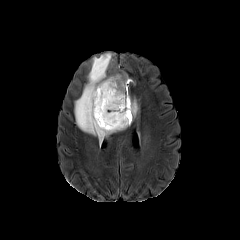
FLAIR MR image.
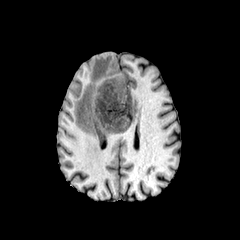
T1-weighted magnetic resonance.
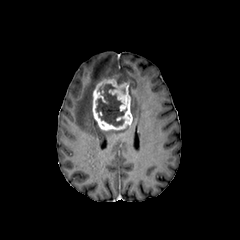
Same slice, post-contrast T1-weighted MR image.
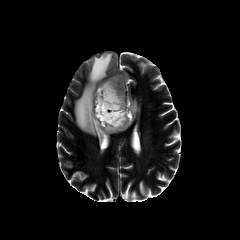
T2-weighted MRI.
Axial plane. 240x240 px.
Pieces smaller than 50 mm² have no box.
necrotic tumor core: bounding box [x1=96, y1=84, x2=124, y2=126]
peritumoral edema: bounding box [x1=131, y1=99, x2=138, y2=116], [x1=116, y1=75, x2=132, y2=84], [x1=74, y1=53, x2=116, y2=144]
enhancing tumor: bounding box [x1=92, y1=76, x2=132, y2=130]